Axial view; Image width 240 mm, 1.00 mm slice spacing; Slice index 51; Head
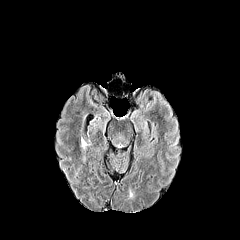
FLAIR MR image.
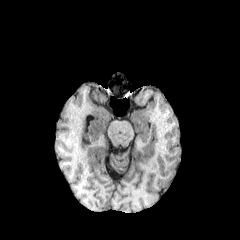
T1-weighted MRI.
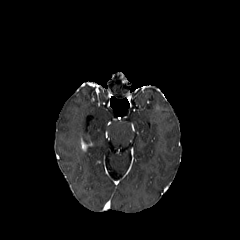
Post-contrast T1-weighted magnetic resonance.
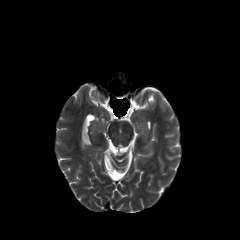
T2-weighted magnetic resonance.
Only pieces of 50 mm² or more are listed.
The largest peritumoral edema region is at 79:139:92:153. The enhancing tumor is at 81:139:91:151.